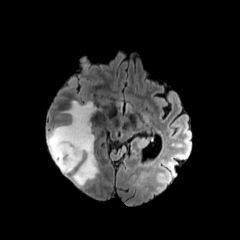
FLAIR magnetic resonance.
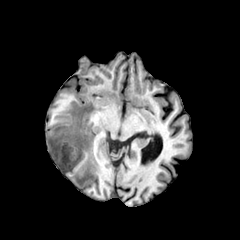
T1-weighted MR image of the same slice.
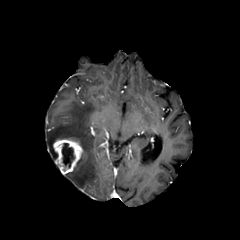
Post-contrast T1-weighted MRI.
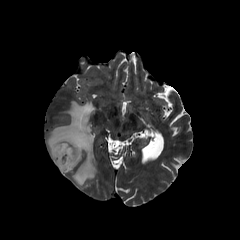
T2-weighted MR of the same slice.
Head
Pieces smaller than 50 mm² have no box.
enhancing tumor = l=53, t=138, r=83, b=174
peritumoral edema = l=47, t=101, r=98, b=186
necrotic tumor core = l=62, t=143, r=74, b=167